Slice 76 of 155, Axial plane, 240x240 px
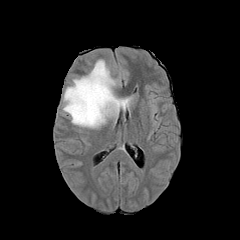
FLAIR magnetic resonance.
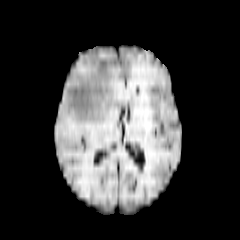
T1-weighted MR.
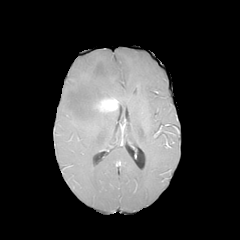
Same slice, post-contrast T1-weighted MR.
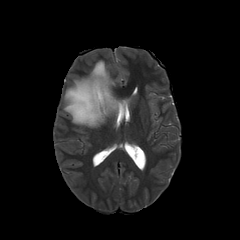
Same slice, T2-weighted MRI.
peritumoral edema = box(63, 59, 132, 128)
enhancing tumor = box(95, 98, 118, 112)